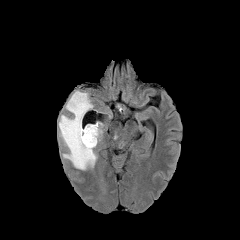
FLAIR magnetic resonance.
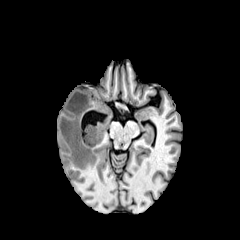
Same slice, T1-weighted MRI.
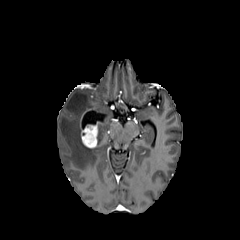
Post-contrast T1-weighted MRI.
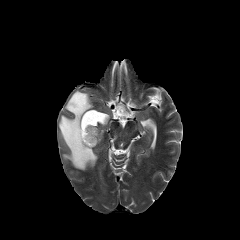
T2-weighted MR image of the same slice.
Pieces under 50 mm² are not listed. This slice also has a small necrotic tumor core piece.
enhancing tumor at 80 108 98 148
peritumoral edema at 58 91 97 170